Slice index 45 | Image width 240 mm, 1.00 mm slice spacing
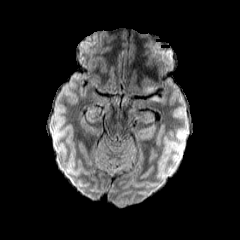
FLAIR MRI.
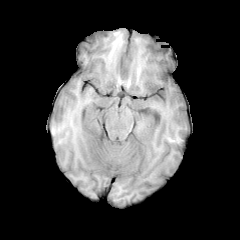
T1-weighted MR.
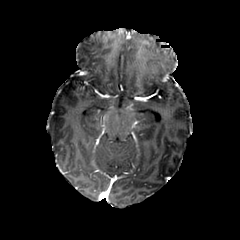
Post-contrast T1-weighted MRI.
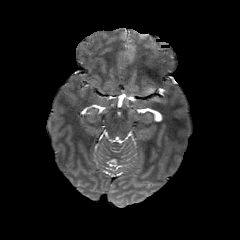
T2-weighted magnetic resonance of the same slice.
2 peritumoral edema regions are located at box(145, 84, 156, 92); box(150, 91, 163, 101).